Image width 240 mm, 1.00 mm slice spacing
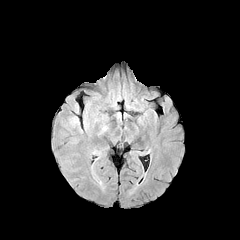
FLAIR MR image.
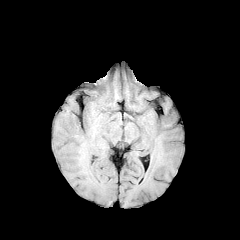
T1-weighted MR image of the same slice.
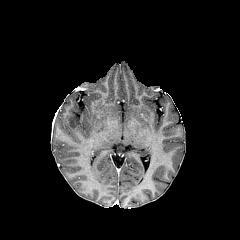
Post-contrast T1-weighted MRI.
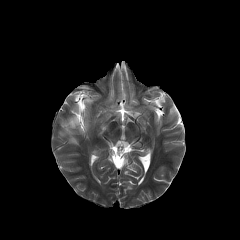
T2-weighted MR image.
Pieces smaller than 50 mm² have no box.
peritumoral edema: bounding box (69, 117, 78, 126)